FLAIR MR image.
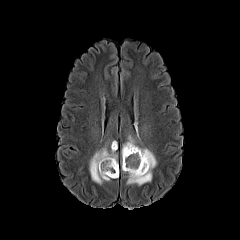
T1-weighted MR.
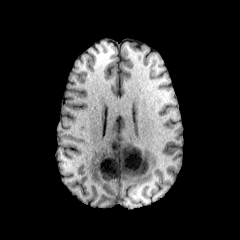
Post-contrast T1-weighted MR.
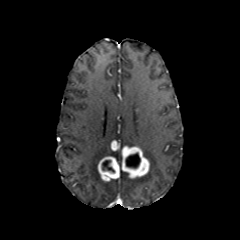
T2-weighted MR image.
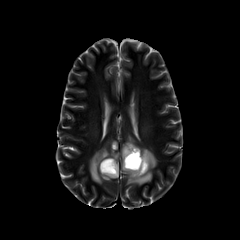
Axial slice, 240x240 px
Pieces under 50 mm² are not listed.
{
  "necrotic_tumor_core": [
    "<box>125,153,140,168</box>",
    "<box>102,160,114,172</box>"
  ],
  "peritumoral_edema": [
    "<box>122,135,156,185</box>",
    "<box>89,142,117,184</box>"
  ],
  "enhancing_tumor": [
    "<box>121,146,149,178</box>",
    "<box>111,140,118,150</box>",
    "<box>97,156,119,181</box>"
  ]
}